FLAIR MRI.
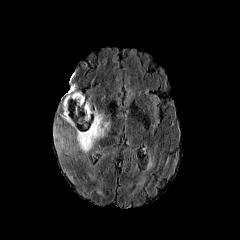
T1-weighted MRI.
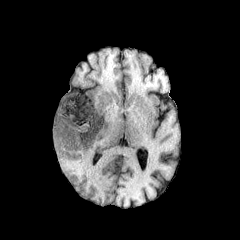
Post-contrast T1-weighted MR.
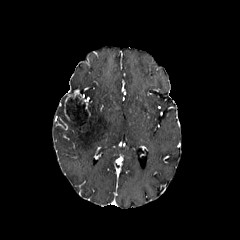
T2-weighted MR.
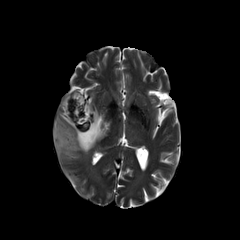
Brain; Image size 240x240
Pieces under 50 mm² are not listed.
enhancing tumor: (64, 91, 90, 120)
peritumoral edema: (53, 103, 109, 154)
necrotic tumor core: (66, 96, 91, 131)